Slice 99 of 155, Brain, Axial view
FLAIR magnetic resonance.
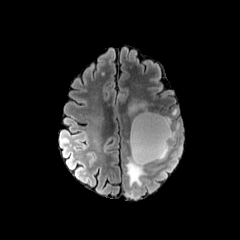
T1-weighted MRI.
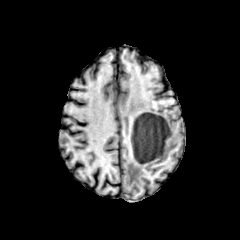
Post-contrast T1-weighted MRI.
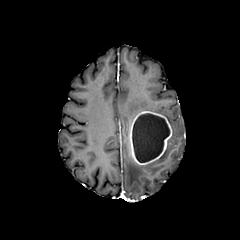
T2-weighted magnetic resonance.
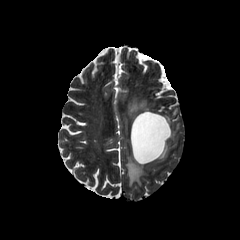
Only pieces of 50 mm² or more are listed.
The 3 largest peritumoral edema regions appear at 126:156:144:186, 156:145:168:160, 128:99:148:119. The necrotic tumor core appears at 132:113:169:162. The enhancing tumor appears at 129:111:172:165.